FLAIR MR image.
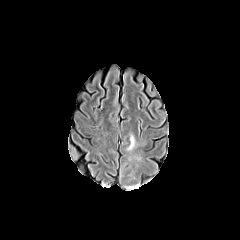
T1-weighted MR.
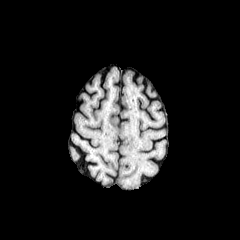
Post-contrast T1-weighted MR.
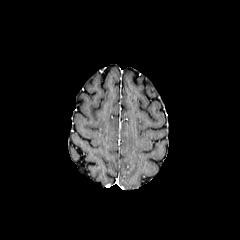
T2-weighted magnetic resonance.
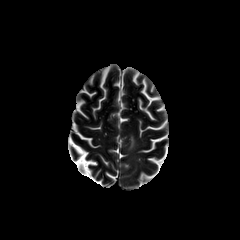
peritumoral edema — (128, 136, 134, 149)